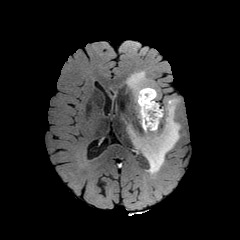
FLAIR MR.
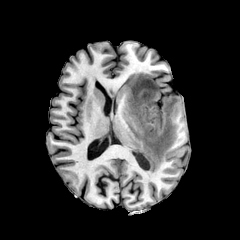
T1-weighted MR of the same slice.
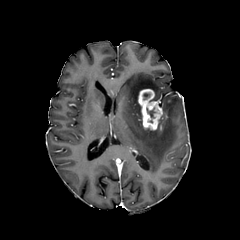
Post-contrast T1-weighted MR image.
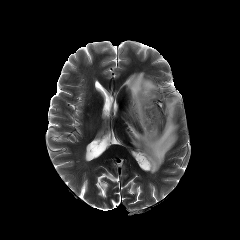
Same slice, T2-weighted MR.
Image size 240x240
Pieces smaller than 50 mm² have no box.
• necrotic tumor core: left=147, top=108, right=155, bottom=118
• peritumoral edema: left=125, top=71, right=180, bottom=173
• enhancing tumor: left=138, top=89, right=162, bottom=130